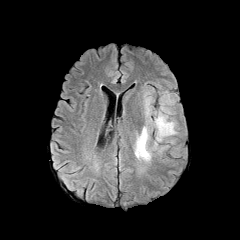
FLAIR MR image.
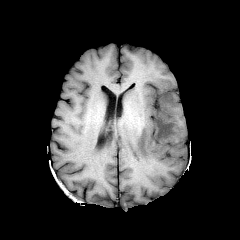
Same slice, T1-weighted magnetic resonance.
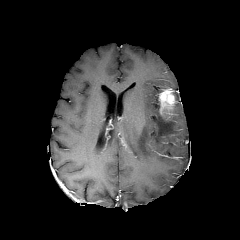
Post-contrast T1-weighted magnetic resonance.
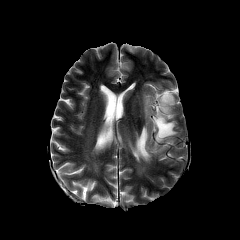
T2-weighted magnetic resonance of the same slice.
Brain
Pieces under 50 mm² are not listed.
Findings:
- enhancing tumor: 159, 88, 175, 118
- peritumoral edema: 134, 93, 177, 162